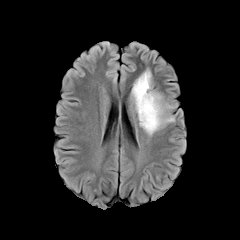
FLAIR MR.
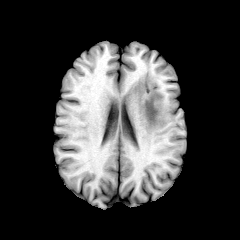
T1-weighted MR of the same slice.
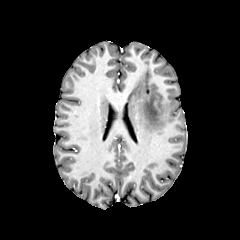
Post-contrast T1-weighted magnetic resonance.
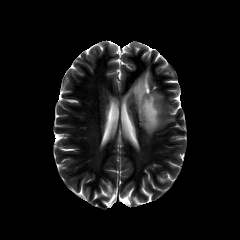
Same slice, T2-weighted magnetic resonance.
Axial view.
peritumoral edema = rect(132, 70, 174, 135)